FLAIR magnetic resonance.
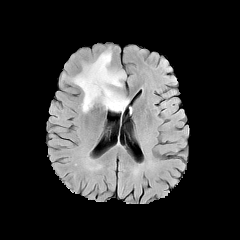
T1-weighted magnetic resonance.
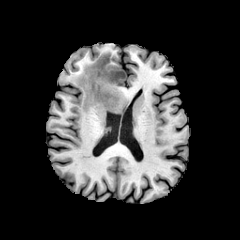
Post-contrast T1-weighted MRI.
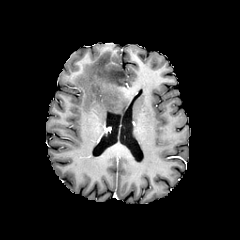
T2-weighted MR image.
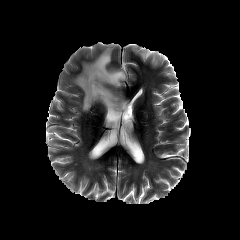
Head.
The peritumoral edema is at 73,50,128,112.